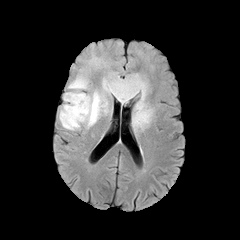
FLAIR MR.
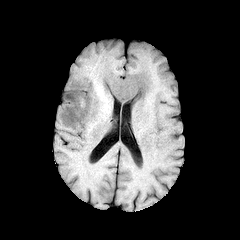
T1-weighted MR.
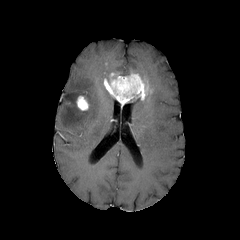
Post-contrast T1-weighted magnetic resonance.
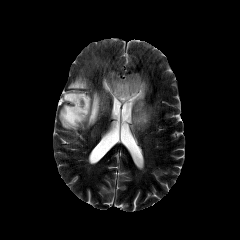
T2-weighted MR image.
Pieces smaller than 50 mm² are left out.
{"peritumoral_edema": ["<bbox>132, 97, 153, 130</bbox>", "<bbox>59, 55, 113, 130</bbox>"], "enhancing_tumor": ["<bbox>76, 95, 89, 110</bbox>", "<bbox>103, 72, 148, 105</bbox>"]}